Head | Axial slice | Slice 101/155
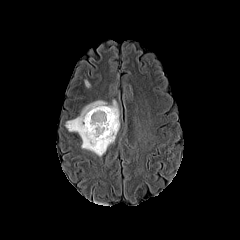
FLAIR MR.
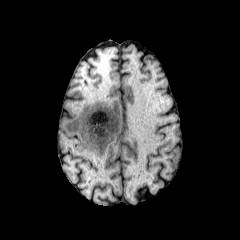
T1-weighted MR image.
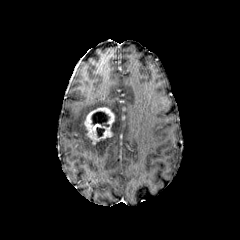
Same slice, post-contrast T1-weighted magnetic resonance.
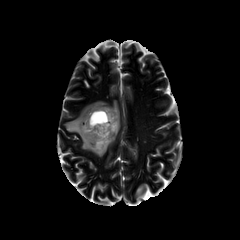
Same slice, T2-weighted MRI.
Segmented structures:
* enhancing tumor: left=84, top=107, right=114, bottom=144
* necrotic tumor core: left=96, top=127, right=104, bottom=137; left=91, top=111, right=110, bottom=127
* peritumoral edema: left=65, top=100, right=120, bottom=156